240x240 px
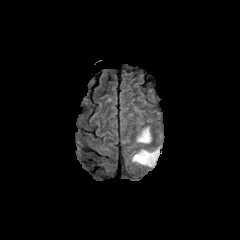
FLAIR MR.
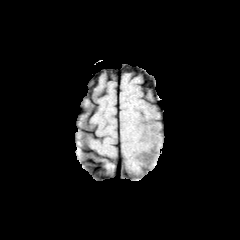
T1-weighted MRI of the same slice.
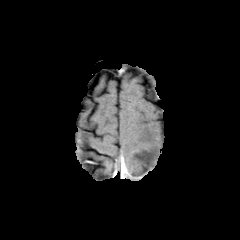
Post-contrast T1-weighted MR image.
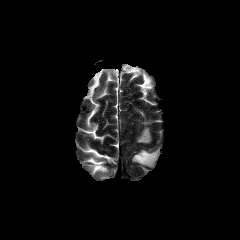
T2-weighted MR.
{"peritumoral_edema": ["left=137, top=127, right=151, bottom=143", "left=132, top=147, right=160, bottom=166"]}